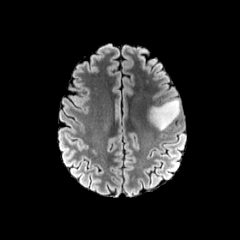
FLAIR MRI.
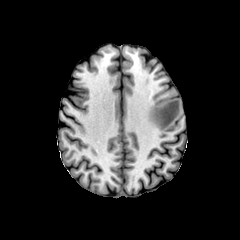
T1-weighted MR of the same slice.
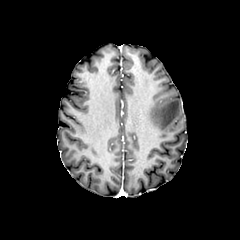
Post-contrast T1-weighted MRI.
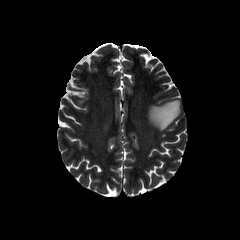
Same slice, T2-weighted magnetic resonance.
240x240 px | Axial slice
{"peritumoral_edema": ["bbox=[149, 99, 180, 130]"]}